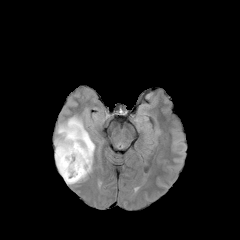
FLAIR MRI.
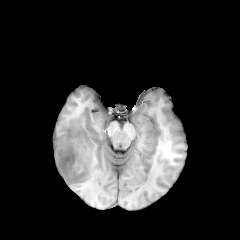
T1-weighted magnetic resonance of the same slice.
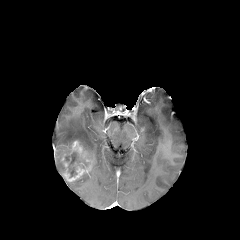
Post-contrast T1-weighted MR image.
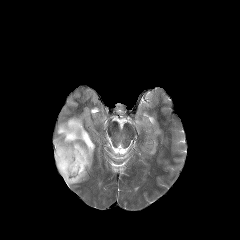
T2-weighted MR.
Head
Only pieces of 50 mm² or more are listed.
{
  "necrotic_tumor_core": [
    {"x1": 65, "y1": 152, "x2": 88, "y2": 177}
  ],
  "enhancing_tumor": [
    {"x1": 61, "y1": 141, "x2": 91, "y2": 181}
  ],
  "peritumoral_edema": [
    {"x1": 54, "y1": 116, "x2": 94, "y2": 173},
    {"x1": 65, "y1": 173, "x2": 88, "y2": 184}
  ]
}